FLAIR MR.
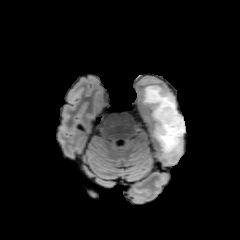
T1-weighted MR image.
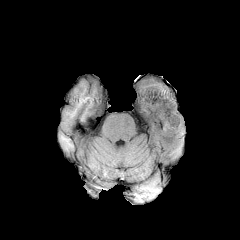
Post-contrast T1-weighted MR.
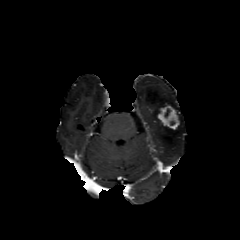
T2-weighted MR.
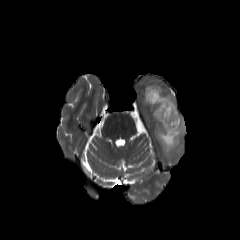
Brain | Axial view
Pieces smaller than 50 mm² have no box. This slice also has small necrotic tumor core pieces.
{
  "peritumoral_edema": [
    "(x1=143, y1=85, x2=185, y2=158)"
  ],
  "enhancing_tumor": [
    "(x1=157, y1=105, x2=179, y2=129)"
  ]
}